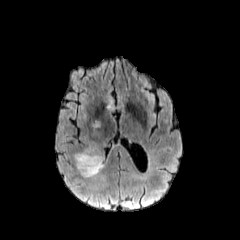
FLAIR MRI.
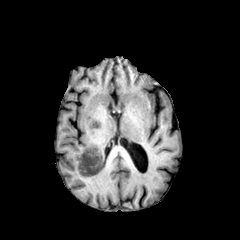
T1-weighted magnetic resonance.
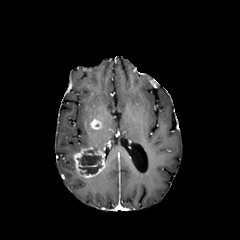
Post-contrast T1-weighted MR of the same slice.
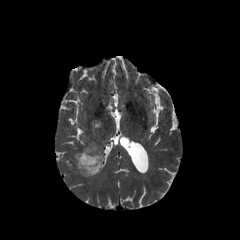
T2-weighted MR image.
240x240
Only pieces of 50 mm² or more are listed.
Findings:
- necrotic tumor core: 77 150 102 174
- peritumoral edema: 86 173 103 188
- enhancing tumor: 90 119 101 129, 73 147 105 177